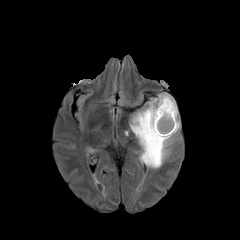
FLAIR magnetic resonance.
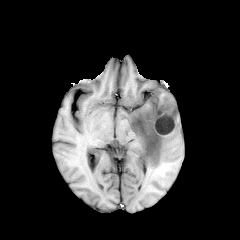
T1-weighted magnetic resonance.
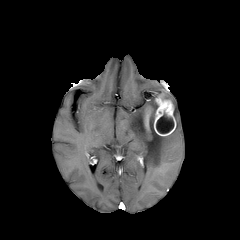
Post-contrast T1-weighted MR of the same slice.
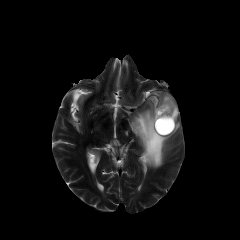
T2-weighted MRI.
Head
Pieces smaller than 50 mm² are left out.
peritumoral edema = rect(129, 92, 180, 168)
enhancing tumor = rect(153, 95, 176, 136); rect(144, 108, 152, 134)
necrotic tumor core = rect(156, 114, 173, 133)